FLAIR magnetic resonance.
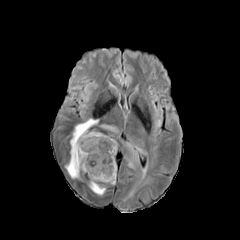
T1-weighted MR image.
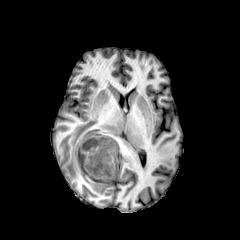
Post-contrast T1-weighted MRI.
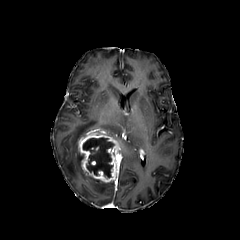
T2-weighted MRI.
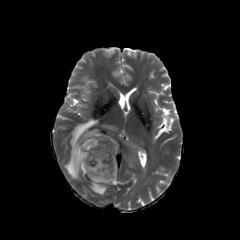
Axial slice, Brain, 240x240 px
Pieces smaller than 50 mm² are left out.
The largest enhancing tumor region is bounded by (x1=78, y1=133, x2=120, y2=182). The 4 largest peritumoral edema regions are bounded by (x1=101, y1=124, x2=117, y2=132), (x1=65, y1=119, x2=98, y2=178), (x1=126, y1=143, x2=138, y2=168), (x1=89, y1=177, x2=106, y2=195). The largest necrotic tumor core region appears at (x1=83, y1=138, x2=113, y2=177).